Slice index 50; Axial plane; 240x240 px
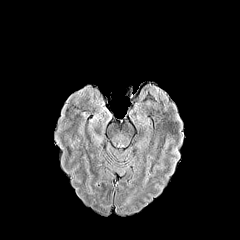
FLAIR MRI.
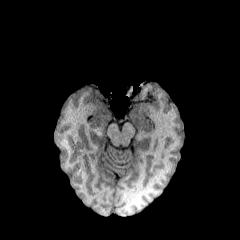
T1-weighted magnetic resonance.
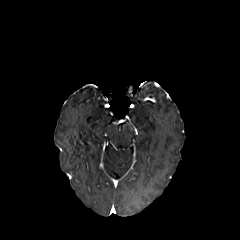
Post-contrast T1-weighted MR image of the same slice.
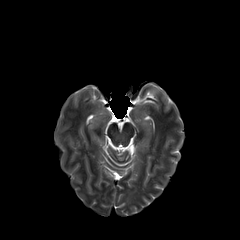
T2-weighted MR.
The peritumoral edema is bounded by 89:117:104:145.